FLAIR MRI.
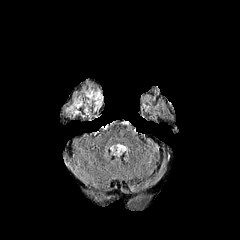
T1-weighted MRI.
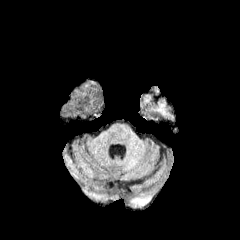
Post-contrast T1-weighted MR image.
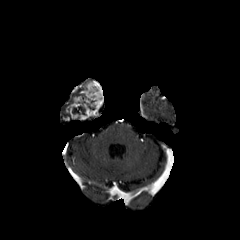
T2-weighted MR.
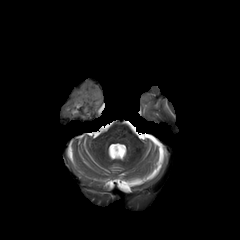
240x240 px
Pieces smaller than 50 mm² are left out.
necrotic tumor core — [72,106,85,114]
enhancing tumor — [66,81,103,119]